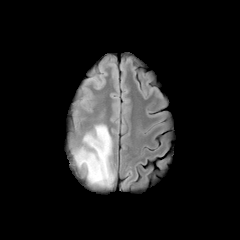
FLAIR MR.
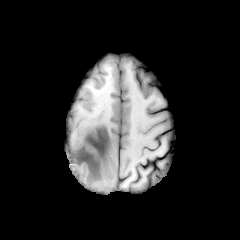
T1-weighted MR image.
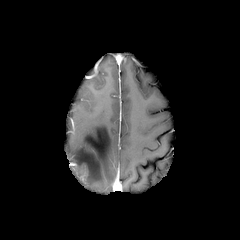
Post-contrast T1-weighted MRI.
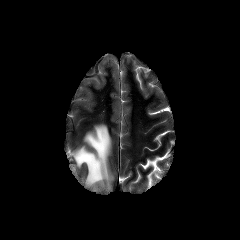
Same slice, T2-weighted MRI.
Axial plane | Brain
<segmentation>
  <peritumoral_edema>73,124,114,186</peritumoral_edema>
</segmentation>